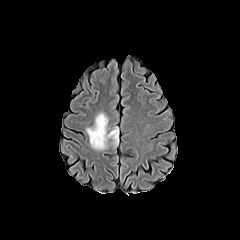
FLAIR magnetic resonance.
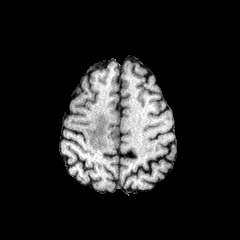
Same slice, T1-weighted MR.
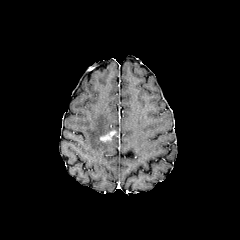
Post-contrast T1-weighted MR.
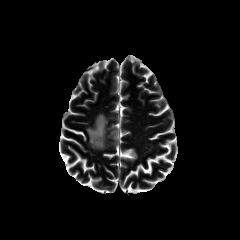
T2-weighted MRI.
Axial view. Brain. Image size 240x240.
2 peritumoral edema regions appear at (111,127,118,146), (86,113,108,150). The enhancing tumor lies within (100,130,116,141).